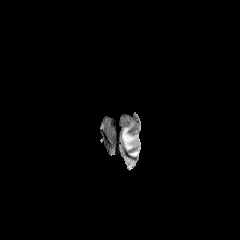
FLAIR MR image.
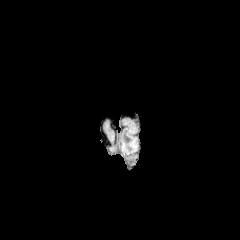
Same slice, T1-weighted MR.
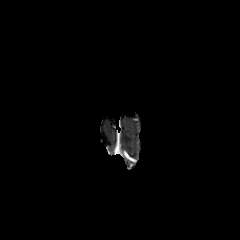
Post-contrast T1-weighted MRI.
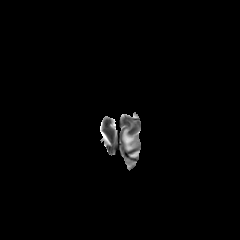
T2-weighted MR.
Brain. Axial plane.
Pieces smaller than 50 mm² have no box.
peritumoral edema: x1=122, y1=128, x2=136, y2=150